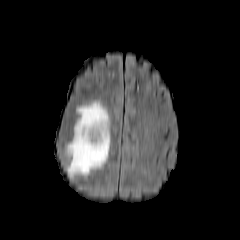
FLAIR MR image.
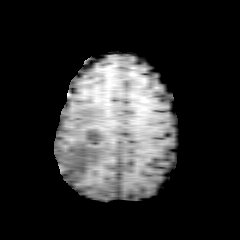
T1-weighted MR image.
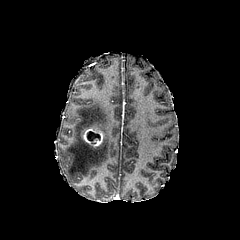
Post-contrast T1-weighted MR image of the same slice.
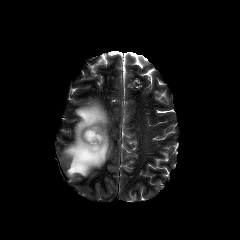
Same slice, T2-weighted MR.
Segmented structures:
• enhancing tumor: 83 127 103 147
• peritumoral edema: 65 101 110 177
• necrotic tumor core: 87 131 100 143